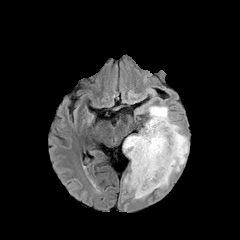
FLAIR MR image.
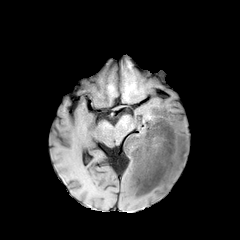
T1-weighted MR.
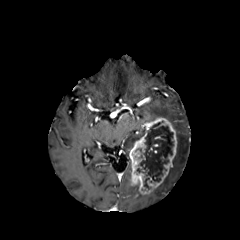
Post-contrast T1-weighted MR.
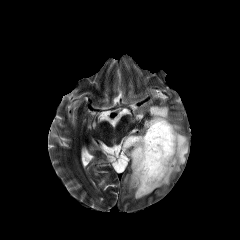
T2-weighted MRI.
240x240 px. Axial plane. Brain.
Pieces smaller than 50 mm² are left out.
The largest necrotic tumor core region is located at region(140, 121, 173, 181). 3 peritumoral edema regions are bounded by region(123, 173, 147, 199); region(148, 106, 188, 187); region(123, 128, 145, 155). The largest enhancing tumor region appears at region(129, 117, 177, 196).